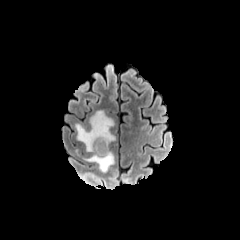
FLAIR MR.
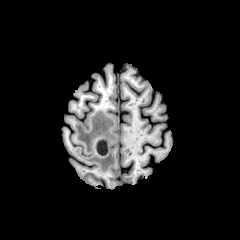
T1-weighted MRI.
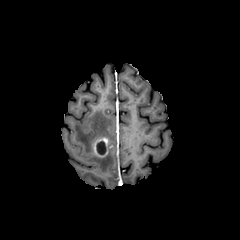
Same slice, post-contrast T1-weighted MR.
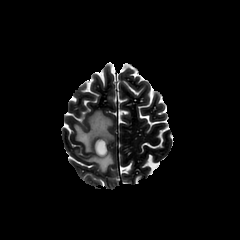
T2-weighted magnetic resonance.
240x240 px. Brain.
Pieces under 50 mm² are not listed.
The largest peritumoral edema region appears at rect(75, 110, 114, 172). The necrotic tumor core appears at rect(96, 141, 106, 154). The enhancing tumor is bounded by rect(93, 137, 108, 157).